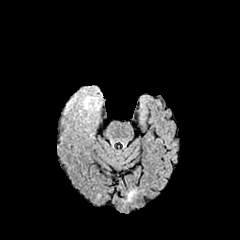
FLAIR MR.
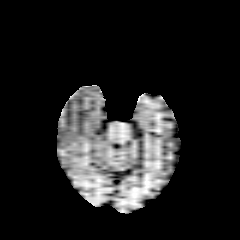
T1-weighted MRI.
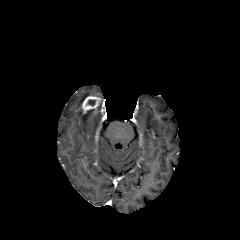
Post-contrast T1-weighted MR image.
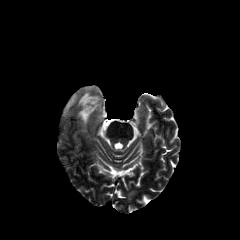
Same slice, T2-weighted MRI.
Axial plane.
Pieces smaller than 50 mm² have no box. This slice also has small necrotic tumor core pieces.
The 2 largest peritumoral edema regions are bounded by left=65, top=89, right=91, bottom=113; left=78, top=109, right=92, bottom=123. The enhancing tumor is located at left=79, top=95, right=101, bottom=114.